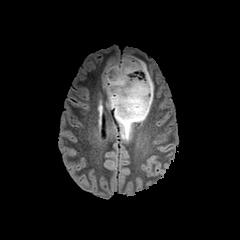
FLAIR MRI.
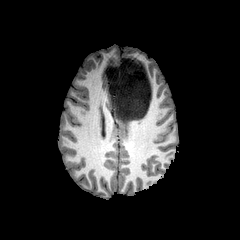
T1-weighted magnetic resonance.
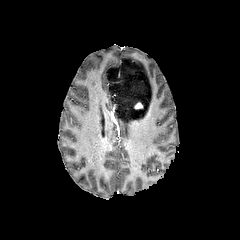
Post-contrast T1-weighted MR image.
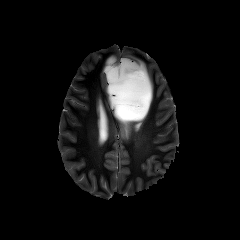
T2-weighted MR image of the same slice.
Image size 240x240, Axial view, Head
- peritumoral edema: (left=104, top=57, right=153, bottom=140)
- enhancing tumor: (left=134, top=102, right=142, bottom=109)